Brain, Image size 240x240
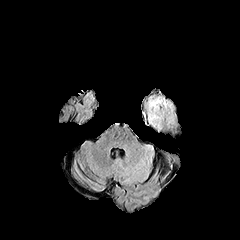
FLAIR MR.
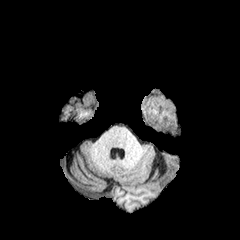
T1-weighted MR.
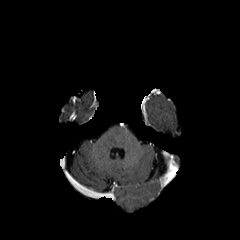
Post-contrast T1-weighted MR image of the same slice.
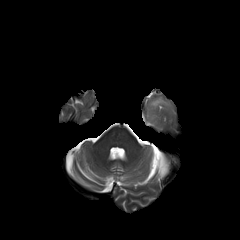
T2-weighted MR.
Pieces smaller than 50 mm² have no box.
The largest peritumoral edema region is bounded by bbox(149, 98, 170, 111).